FLAIR MR.
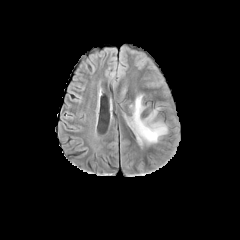
T1-weighted MR image.
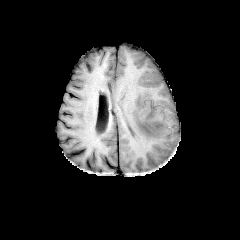
Post-contrast T1-weighted MR.
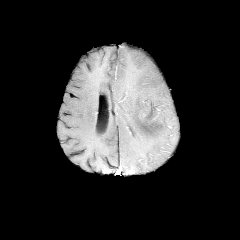
T2-weighted MRI.
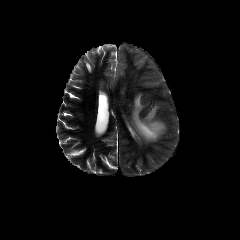
240x240. Axial view.
The peritumoral edema is located at l=128, t=94, r=167, b=144.